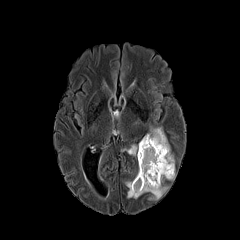
FLAIR MRI.
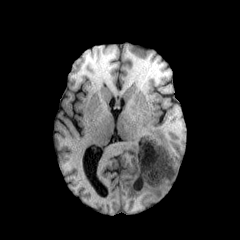
T1-weighted magnetic resonance.
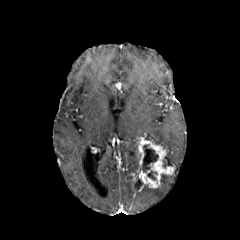
Post-contrast T1-weighted MR.
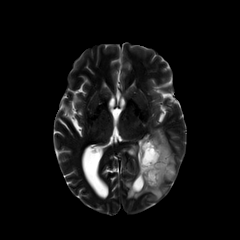
T2-weighted MRI of the same slice.
Axial plane
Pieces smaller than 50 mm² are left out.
necrotic_tumor_core:
  - [x1=147, y1=171, x2=157, y2=180]
  - [x1=142, y1=144, x2=158, y2=172]
peritumoral_edema:
  - [x1=125, y1=172, x2=175, y2=200]
  - [x1=125, y1=144, x2=137, y2=156]
  - [x1=144, y1=127, x2=174, y2=165]
enhancing_tumor:
  - [x1=130, y1=138, x2=174, y2=193]